Slice 87 of 155. Head.
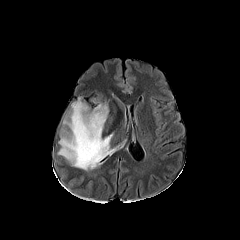
FLAIR MR image.
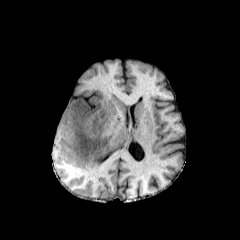
T1-weighted magnetic resonance.
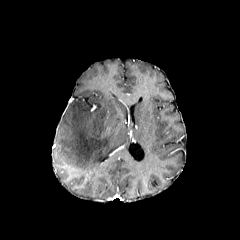
Post-contrast T1-weighted MRI of the same slice.
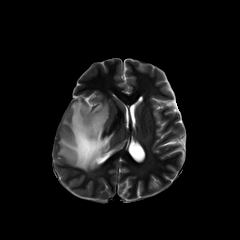
T2-weighted MR image.
The peritumoral edema is at l=58, t=98, r=127, b=170.